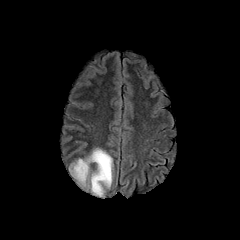
FLAIR MR image.
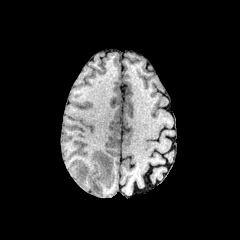
T1-weighted magnetic resonance of the same slice.
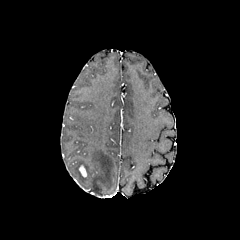
Post-contrast T1-weighted MRI.
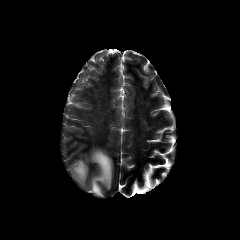
T2-weighted MRI of the same slice.
240x240 px
peritumoral_edema:
  - 69, 148, 112, 196
enhancing_tumor:
  - 78, 165, 86, 177